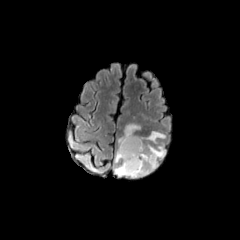
FLAIR MRI.
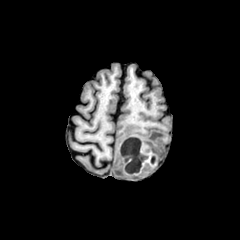
T1-weighted magnetic resonance of the same slice.
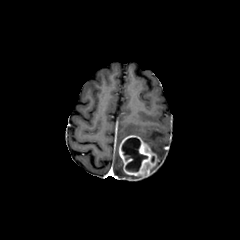
Same slice, post-contrast T1-weighted MR.
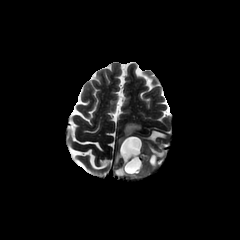
T2-weighted MRI.
240x240 px; Head
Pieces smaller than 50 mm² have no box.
enhancing tumor: [119,135,157,177] | peritumoral edema: [115,123,141,164], [139,131,165,171], [114,162,139,178] | necrotic tumor core: [122,137,147,171]